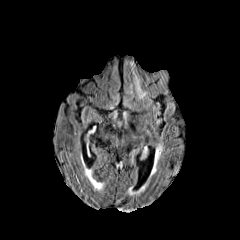
FLAIR magnetic resonance.
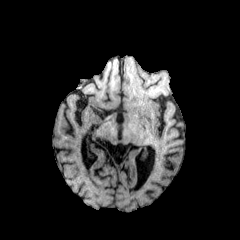
T1-weighted MR.
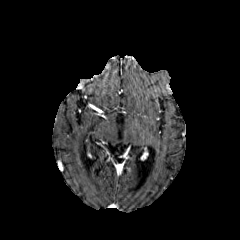
Same slice, post-contrast T1-weighted magnetic resonance.
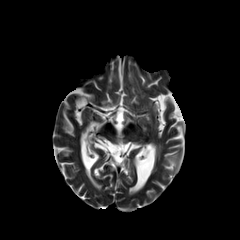
T2-weighted MR.
Brain, Axial plane, 240x240
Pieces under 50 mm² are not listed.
Annotated regions:
- peritumoral edema: bbox(134, 75, 145, 98)